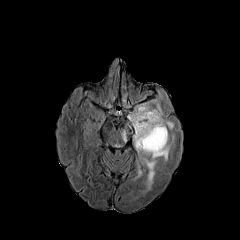
FLAIR MR image.
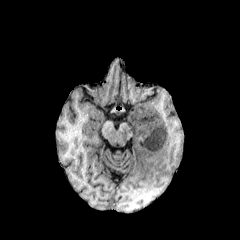
T1-weighted MRI of the same slice.
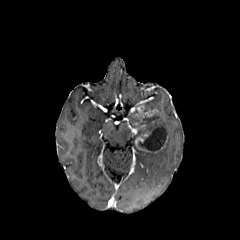
Post-contrast T1-weighted magnetic resonance of the same slice.
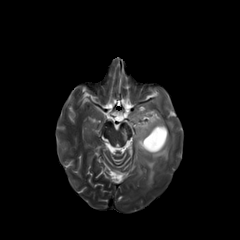
Same slice, T2-weighted magnetic resonance.
240x240.
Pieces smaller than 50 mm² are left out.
- necrotic tumor core: 135 112 166 152
- enhancing tumor: 135 137 149 151, 144 110 157 116
- peritumoral edema: 133 132 174 197, 120 123 131 142, 153 100 173 129, 128 106 140 129